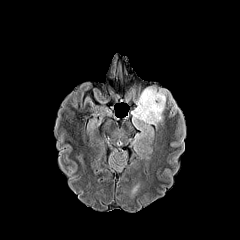
FLAIR magnetic resonance.
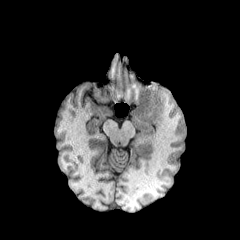
T1-weighted magnetic resonance of the same slice.
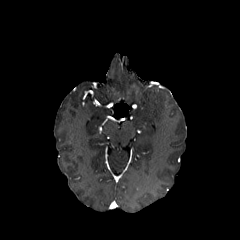
Same slice, post-contrast T1-weighted MR.
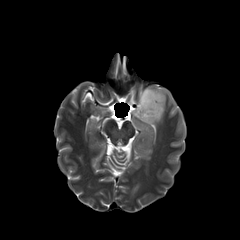
T2-weighted MR.
Axial plane | Head
{"peritumoral_edema": ["rect(132, 87, 166, 140)"]}